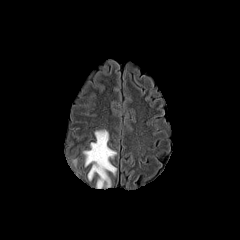
FLAIR MR image.
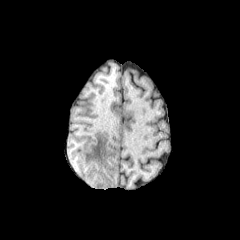
Same slice, T1-weighted magnetic resonance.
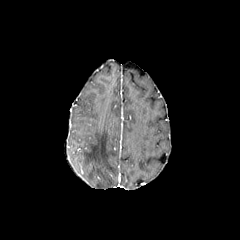
Same slice, post-contrast T1-weighted magnetic resonance.
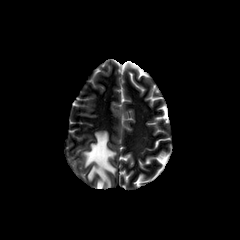
T2-weighted MR image.
{
  "peritumoral_edema": [
    "box(83, 130, 116, 188)"
  ]
}